Head; Slice 83 of 155
FLAIR MRI.
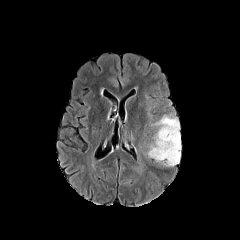
T1-weighted MR.
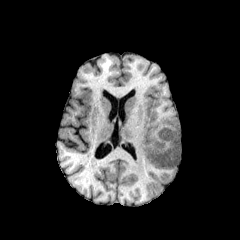
Post-contrast T1-weighted MR image.
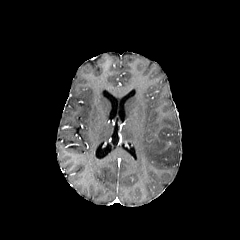
T2-weighted MR image.
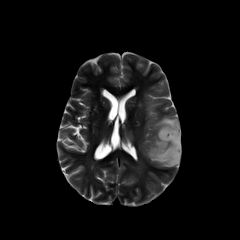
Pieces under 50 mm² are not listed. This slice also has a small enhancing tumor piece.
The peritumoral edema is located at (left=147, top=114, right=181, bottom=166).